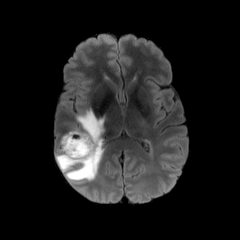
FLAIR MRI.
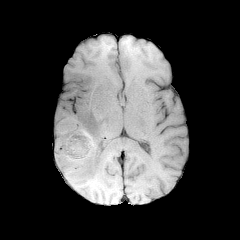
T1-weighted MR.
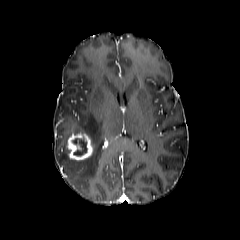
Post-contrast T1-weighted MRI.
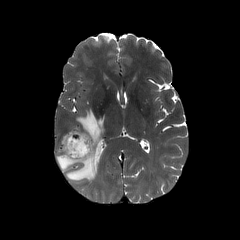
T2-weighted MR.
Head | Axial plane | 240x240
{"enhancing_tumor": ["rect(66, 133, 93, 160)"], "necrotic_tumor_core": ["rect(73, 138, 86, 155)"], "peritumoral_edema": ["rect(55, 109, 104, 181)"]}